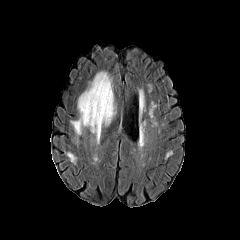
FLAIR MRI.
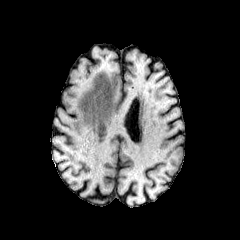
T1-weighted magnetic resonance.
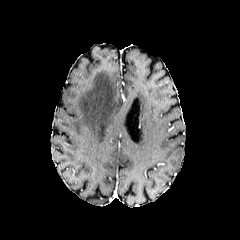
Post-contrast T1-weighted MR image.
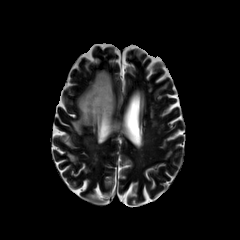
T2-weighted MRI of the same slice.
Head, Axial view
<segmentation>
  <peritumoral_edema><bbox>71, 71, 116, 142</bbox></peritumoral_edema>
</segmentation>